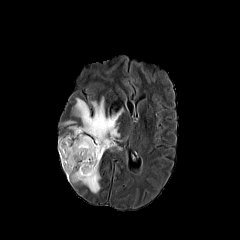
FLAIR MR.
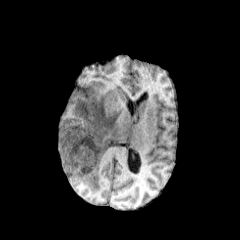
T1-weighted MR image.
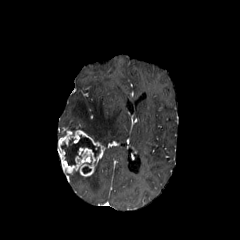
Post-contrast T1-weighted MRI of the same slice.
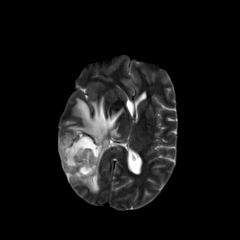
Same slice, T2-weighted MR image.
Axial view
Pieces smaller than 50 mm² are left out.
{
  "peritumoral_edema": [
    "67 159 100 193",
    "67 95 123 148"
  ],
  "necrotic_tumor_core": [
    "61 135 99 165",
    "82 166 91 173"
  ],
  "enhancing_tumor": [
    "58 129 106 176"
  ]
}